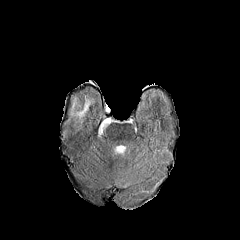
FLAIR MR.
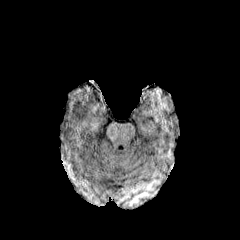
Same slice, T1-weighted MR.
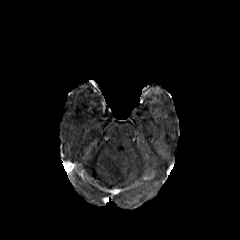
Post-contrast T1-weighted MR image of the same slice.
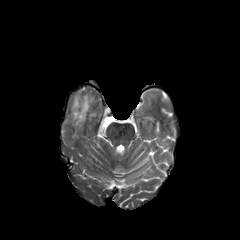
T2-weighted MR.
Brain
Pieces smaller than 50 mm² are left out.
peritumoral edema at bbox(73, 97, 89, 119)